FLAIR MRI.
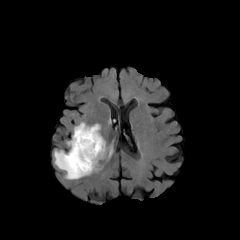
T1-weighted magnetic resonance.
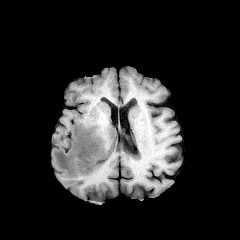
Post-contrast T1-weighted MRI.
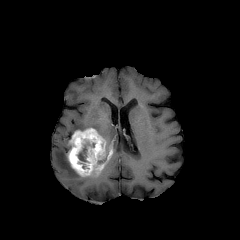
T2-weighted MR.
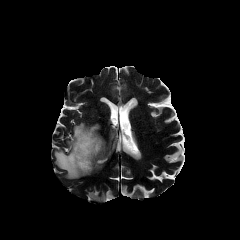
Image size 240x240
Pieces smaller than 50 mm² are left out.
enhancing tumor = <box>67,128,107,176</box>
peritumoral edema = <box>54,149,81,179</box>, <box>73,122,101,136</box>
necrotic tumor core = <box>75,138,94,168</box>